Axial slice; Image covers 240 mm x 240 mm; 240x240 px
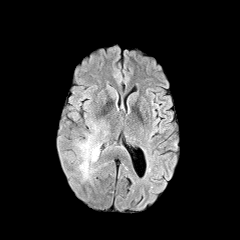
FLAIR MRI.
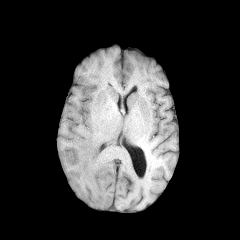
Same slice, T1-weighted MR.
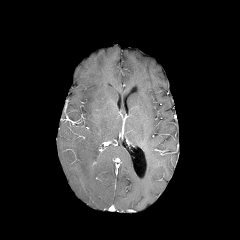
Post-contrast T1-weighted MR of the same slice.
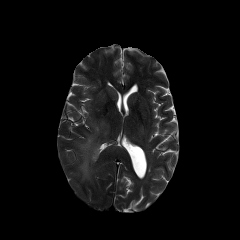
T2-weighted MR image.
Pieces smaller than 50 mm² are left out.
Findings:
- peritumoral edema: bbox=[76, 121, 103, 180]